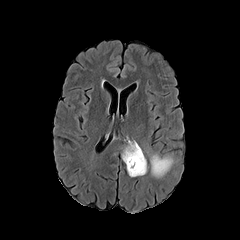
FLAIR MRI.
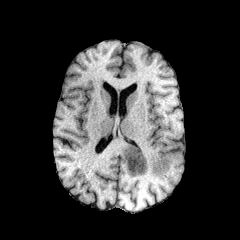
T1-weighted MR.
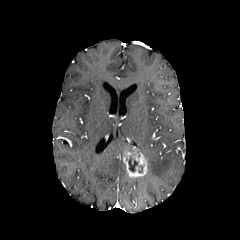
Post-contrast T1-weighted magnetic resonance.
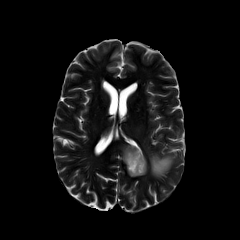
T2-weighted MR image.
Axial slice
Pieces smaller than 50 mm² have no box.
enhancing tumor — l=123, t=146, r=147, b=177
necrotic tumor core — l=128, t=157, r=137, b=171
peritumoral edema — l=150, t=154, r=173, b=177